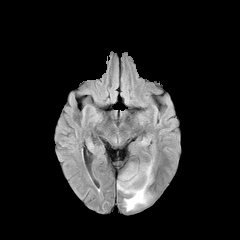
FLAIR MRI.
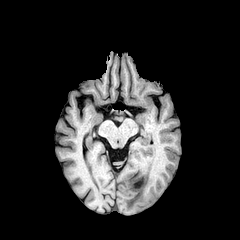
T1-weighted MR.
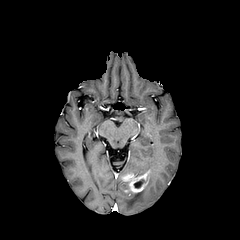
Same slice, post-contrast T1-weighted MR.
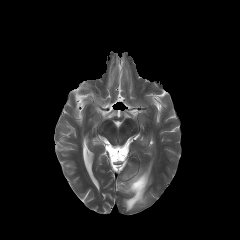
T2-weighted MRI.
Head.
Annotated regions:
• peritumoral edema: (123, 161, 152, 184), (117, 179, 150, 211)
• necrotic tumor core: (134, 179, 144, 188)
• enhancing tumor: (121, 170, 150, 193)